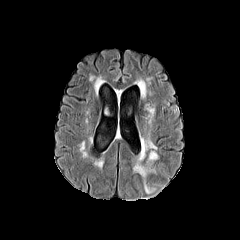
FLAIR MR.
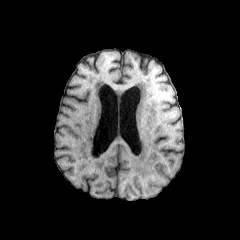
Same slice, T1-weighted magnetic resonance.
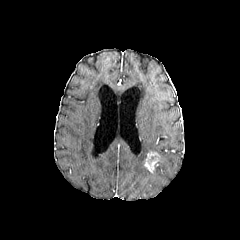
Post-contrast T1-weighted MR image.
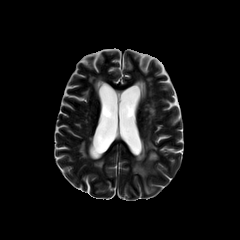
T2-weighted MRI.
Axial plane | Head
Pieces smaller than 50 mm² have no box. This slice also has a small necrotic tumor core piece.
enhancing tumor: bounding box [145, 152, 158, 172]
peritumoral edema: bounding box [144, 182, 154, 193], [133, 161, 149, 177], [144, 140, 156, 151]